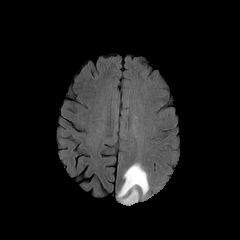
FLAIR MR.
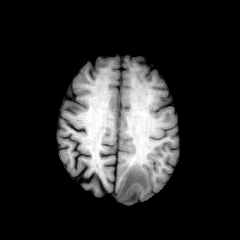
T1-weighted MR of the same slice.
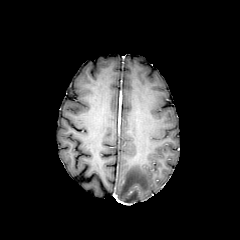
Same slice, post-contrast T1-weighted MR image.
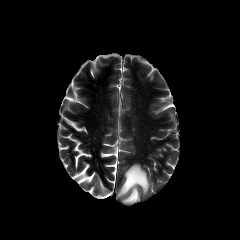
T2-weighted magnetic resonance of the same slice.
{"peritumoral_edema": ["[x1=118, y1=163, x2=149, y2=203]"]}